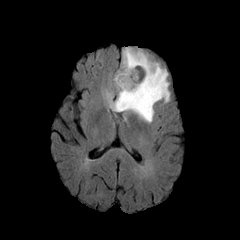
FLAIR MR image.
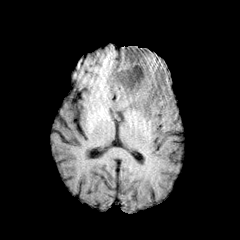
T1-weighted magnetic resonance of the same slice.
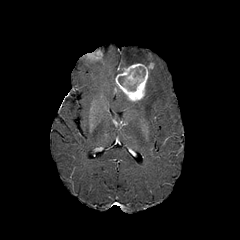
Same slice, post-contrast T1-weighted MRI.
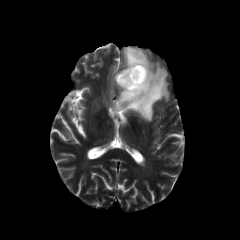
Same slice, T2-weighted magnetic resonance.
Brain.
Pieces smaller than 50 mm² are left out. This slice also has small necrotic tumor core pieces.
peritumoral edema at [x1=107, y1=47, x2=169, y2=122]
enhancing tumor at [x1=115, y1=63, x2=153, y2=101]